Image width 240 mm; 240x240 px; Slice index 90; Brain
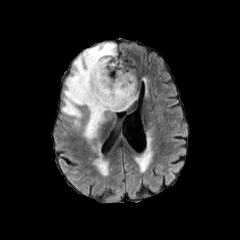
FLAIR MRI.
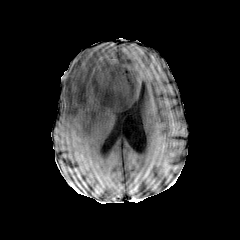
T1-weighted MR image.
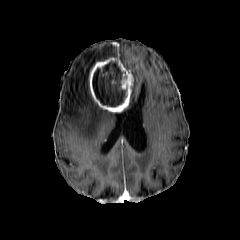
Same slice, post-contrast T1-weighted MR.
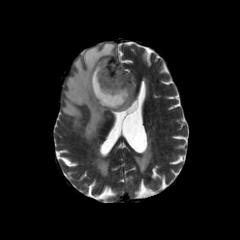
Same slice, T2-weighted MRI.
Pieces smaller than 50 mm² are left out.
The necrotic tumor core is at region(92, 60, 125, 106). The 2 largest peritumoral edema regions are located at region(129, 77, 137, 106); region(61, 42, 118, 139). The largest enhancing tumor region appears at region(88, 58, 133, 112).